Axial plane, Head
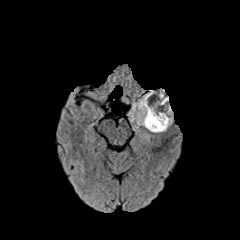
FLAIR MR image.
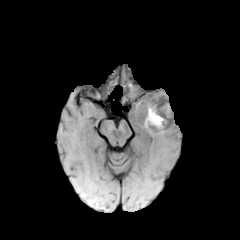
Same slice, T1-weighted MR.
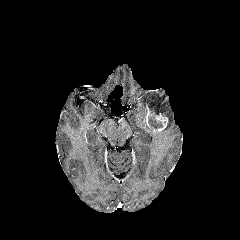
Post-contrast T1-weighted MR image of the same slice.
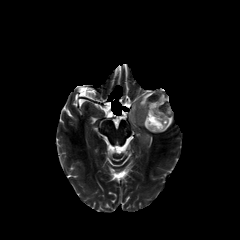
T2-weighted magnetic resonance of the same slice.
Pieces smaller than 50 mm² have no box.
{
  "enhancing_tumor": [
    "(145, 105, 168, 132)"
  ],
  "necrotic_tumor_core": [
    "(147, 93, 167, 128)"
  ],
  "peritumoral_edema": [
    "(157, 96, 173, 132)",
    "(129, 89, 165, 132)"
  ]
}